240x240 px; Brain
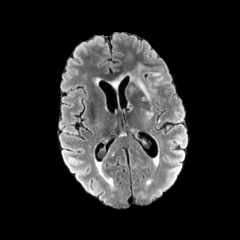
FLAIR MRI.
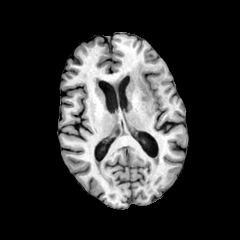
Same slice, T1-weighted MR image.
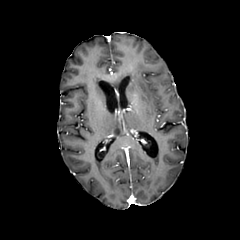
Post-contrast T1-weighted MRI.
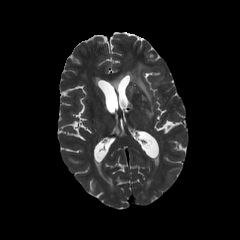
T2-weighted MR image of the same slice.
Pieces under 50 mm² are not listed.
{
  "peritumoral_edema": [
    "(left=153, top=73, right=162, bottom=85)",
    "(left=127, top=64, right=151, bottom=101)"
  ]
}